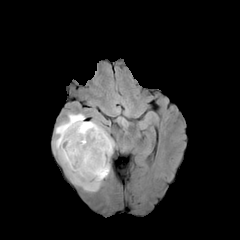
FLAIR magnetic resonance.
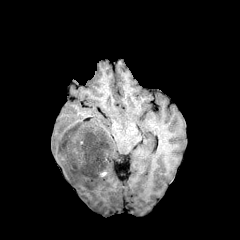
T1-weighted MR.
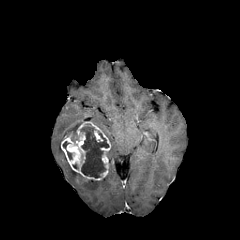
Post-contrast T1-weighted magnetic resonance.
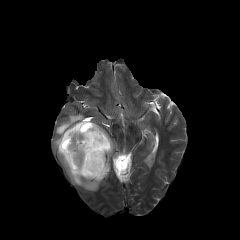
T2-weighted MR image of the same slice.
Brain. 240x240 px.
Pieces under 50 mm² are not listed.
necrotic tumor core: 81,124,108,178
enhancing tumor: 60,121,111,181
peritumoral edema: 53,113,104,191; 91,120,115,163